FLAIR MR.
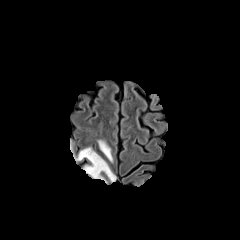
T1-weighted MR.
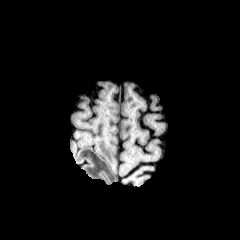
Post-contrast T1-weighted MRI.
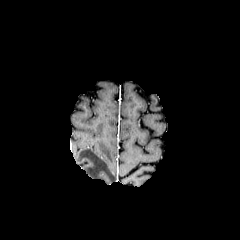
T2-weighted MR image.
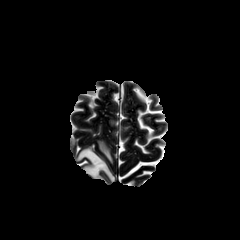
peritumoral edema: 75:148:115:182, 98:140:112:162